Slice 92 of 155, Axial view
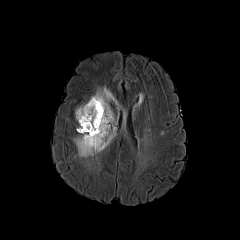
FLAIR MR.
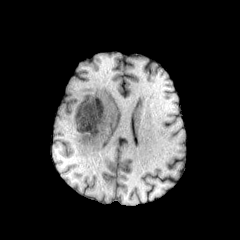
T1-weighted MRI.
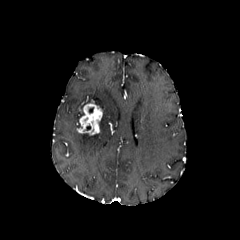
Post-contrast T1-weighted MR image of the same slice.
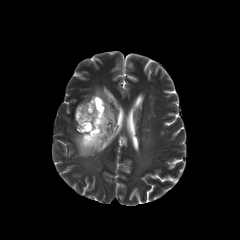
Same slice, T2-weighted MR image.
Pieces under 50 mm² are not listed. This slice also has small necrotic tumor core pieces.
The enhancing tumor is located at [76,99,102,135]. The 2 largest peritumoral edema regions are located at [73,86,118,157], [75,108,84,122].